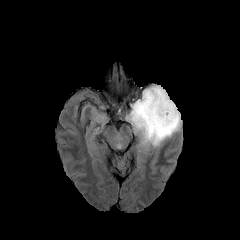
FLAIR magnetic resonance.
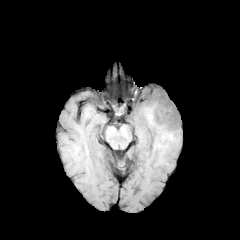
T1-weighted MR image.
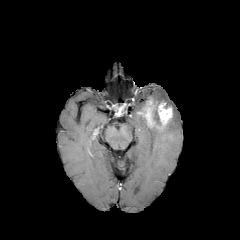
Same slice, post-contrast T1-weighted magnetic resonance.
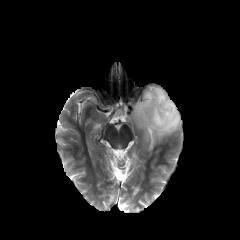
T2-weighted MRI.
Axial slice. Image size 240x240. Brain.
peritumoral edema: x1=126, y1=85, x2=181, y2=146; x1=153, y1=108, x2=160, y2=123
enhancing tumor: x1=137, y1=96, x2=173, y2=131